FLAIR MR image.
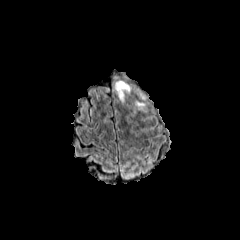
T1-weighted magnetic resonance.
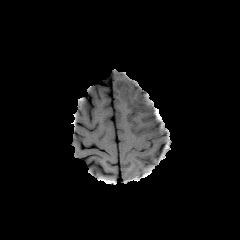
Post-contrast T1-weighted MR.
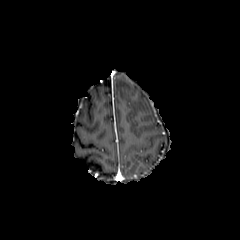
T2-weighted MRI.
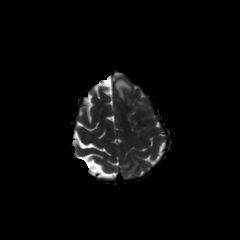
Brain
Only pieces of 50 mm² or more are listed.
<segmentation>
  <peritumoral_edema>[115, 80, 130, 101]</peritumoral_edema>
</segmentation>